FLAIR MR.
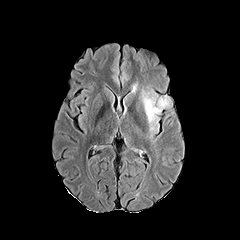
T1-weighted MR.
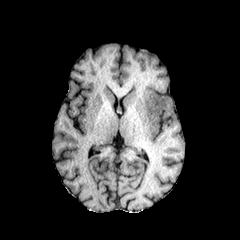
Post-contrast T1-weighted magnetic resonance.
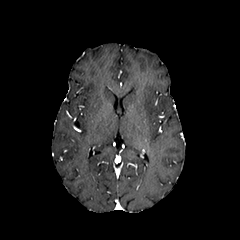
T2-weighted MR.
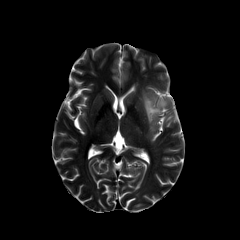
Image size 240x240; Head; Axial plane
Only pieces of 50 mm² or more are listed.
<segmentation>
  <peritumoral_edema>(142,92,168,129)</peritumoral_edema>
</segmentation>